FLAIR MR.
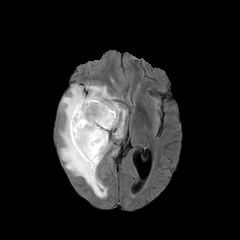
T1-weighted magnetic resonance.
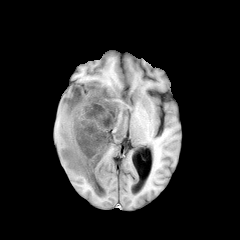
Post-contrast T1-weighted MR image.
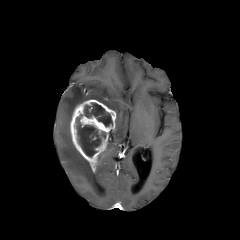
T2-weighted MRI.
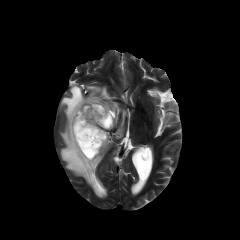
Image size 240x240, Head
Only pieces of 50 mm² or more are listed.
The largest enhancing tumor region lies within x1=70 y1=99 x2=116 y2=172. The 2 largest necrotic tumor core regions appear at x1=76 y1=117 x2=101 y2=156, x1=84 y1=103 x2=112 y2=126. The largest peritumoral edema region appears at x1=60 y1=84 x2=127 y2=197.